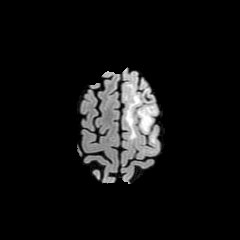
FLAIR MRI.
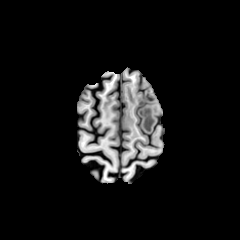
T1-weighted MR image of the same slice.
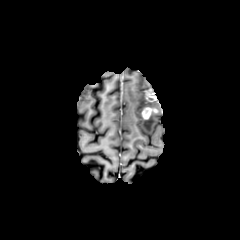
Post-contrast T1-weighted MR image of the same slice.
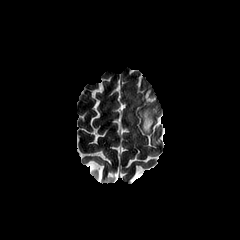
T2-weighted MRI.
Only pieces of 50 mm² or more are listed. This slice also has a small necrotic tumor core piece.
<segmentation>
  <peritumoral_edema>left=125, top=90, right=141, bottom=138; left=137, top=104, right=156, bottom=132</peritumoral_edema>
  <enhancing_tumor>left=145, top=89, right=156, bottom=101; left=141, top=107, right=158, bottom=119</enhancing_tumor>
</segmentation>